Slice 77/155 | Brain | Image size 240x240
FLAIR MRI.
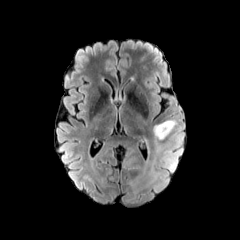
T1-weighted MRI.
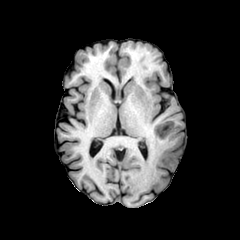
Post-contrast T1-weighted MR image.
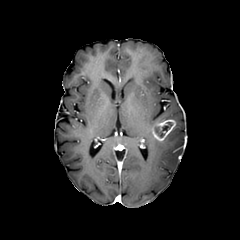
T2-weighted magnetic resonance.
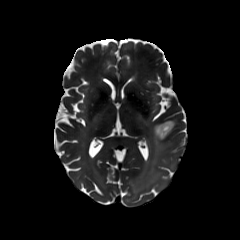
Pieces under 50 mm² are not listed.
enhancing_tumor:
  - rect(152, 119, 175, 140)
peritumoral_edema:
  - rect(152, 139, 170, 173)
necrotic_tumor_core:
  - rect(155, 122, 172, 137)